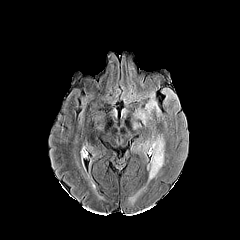
FLAIR MR.
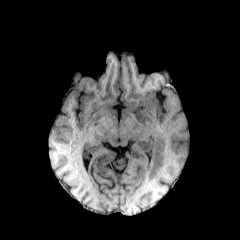
Same slice, T1-weighted MR.
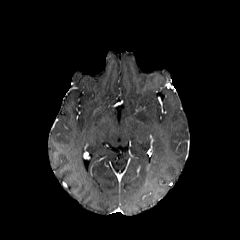
Post-contrast T1-weighted MR image of the same slice.
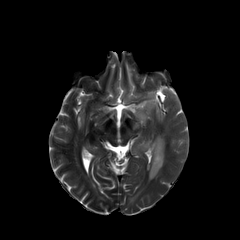
T2-weighted MRI of the same slice.
Axial slice | Brain
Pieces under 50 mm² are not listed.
peritumoral edema = x1=136, y1=112, x2=151, y2=124; x1=137, y1=140, x2=149, y2=152; x1=148, y1=135, x2=164, y2=180; x1=146, y1=102, x2=158, y2=113